Axial plane | Slice 77 of 155 | Brain
FLAIR MR.
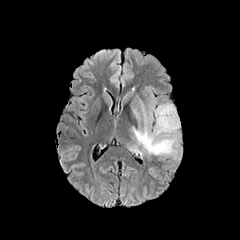
T1-weighted magnetic resonance.
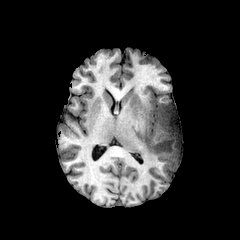
Post-contrast T1-weighted MR image.
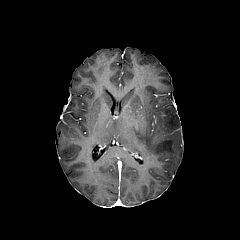
T2-weighted MRI.
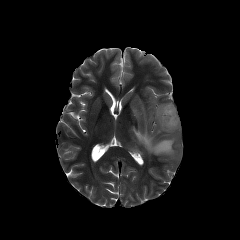
The peritumoral edema lies within (x1=129, y1=101, x2=180, y2=159).